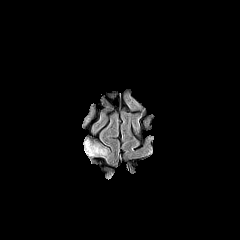
FLAIR magnetic resonance.
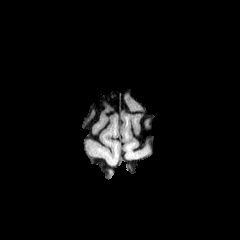
T1-weighted magnetic resonance of the same slice.
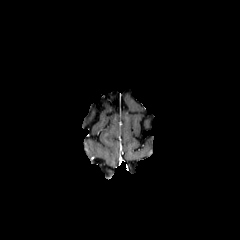
Same slice, post-contrast T1-weighted MR.
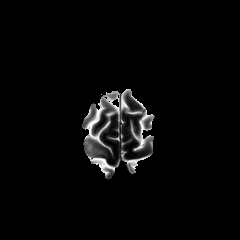
T2-weighted MRI.
Brain.
The peritumoral edema is at (x1=85, y1=141, x2=105, y2=155).